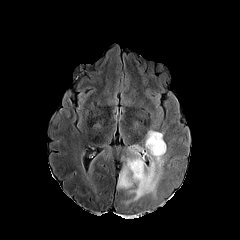
FLAIR MR.
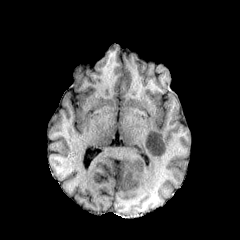
T1-weighted MR image.
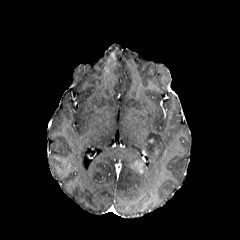
Same slice, post-contrast T1-weighted magnetic resonance.
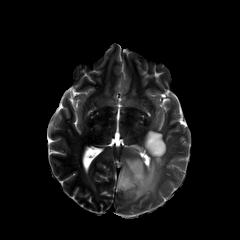
T2-weighted MR image.
Brain | 240x240
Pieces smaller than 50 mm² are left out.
peritumoral edema — 117,130,166,200
enhancing tumor — 131,160,143,173
necrotic tumor core — 148,138,161,154